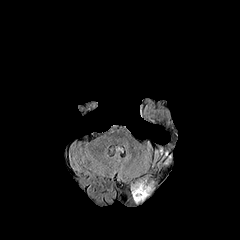
FLAIR magnetic resonance.
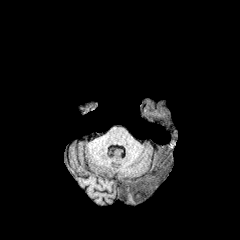
T1-weighted MR.
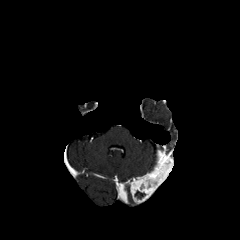
Post-contrast T1-weighted MR.
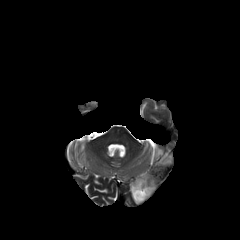
Same slice, T2-weighted MRI.
Image size 240x240 | Axial view
necrotic tumor core — 135,190,145,198
enhancing tumor — 130,150,173,203